Head. Slice 82 of 155. Image width 240 mm, 1.00 mm slice spacing.
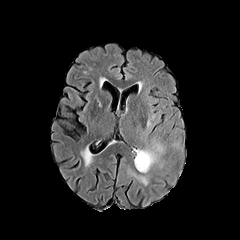
FLAIR MR.
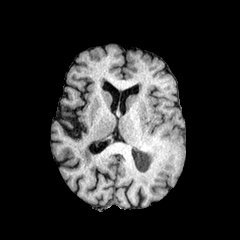
T1-weighted MR of the same slice.
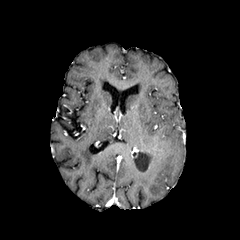
Post-contrast T1-weighted magnetic resonance of the same slice.
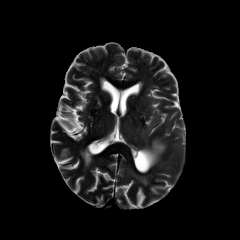
T2-weighted MR.
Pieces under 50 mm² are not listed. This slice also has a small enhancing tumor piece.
peritumoral edema = box(134, 141, 164, 173)
necrotic tumor core = box(136, 151, 150, 170)